FLAIR magnetic resonance.
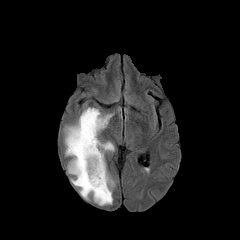
T1-weighted MRI.
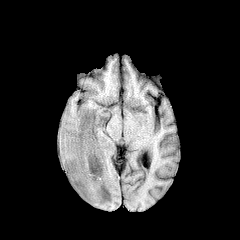
Post-contrast T1-weighted magnetic resonance.
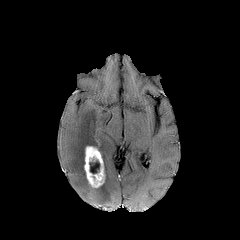
T2-weighted MRI.
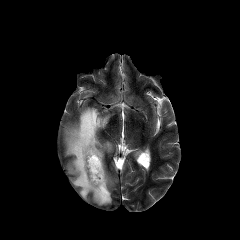
Axial plane
Annotated regions:
- necrotic tumor core: left=89, top=160, right=99, bottom=173
- peritumoral edema: left=64, top=107, right=115, bottom=205
- enhancing tumor: left=84, top=146, right=105, bottom=187